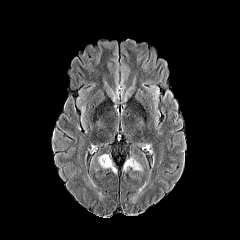
FLAIR MR image.
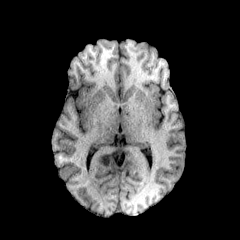
T1-weighted MR.
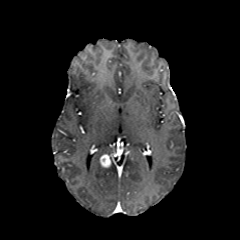
Post-contrast T1-weighted MR of the same slice.
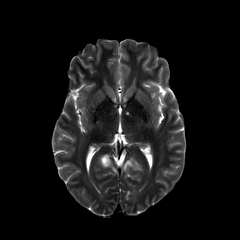
Same slice, T2-weighted MR.
Head; Axial plane
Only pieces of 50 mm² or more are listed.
enhancing tumor at bbox=[100, 154, 111, 167]
peritumoral edema at bbox=[123, 157, 142, 170]